FLAIR MR image.
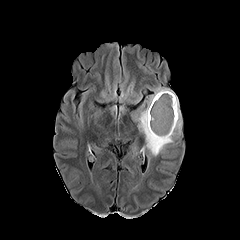
T1-weighted MR image.
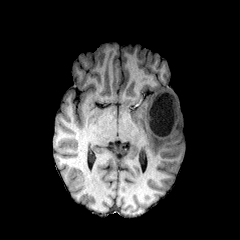
Post-contrast T1-weighted MRI.
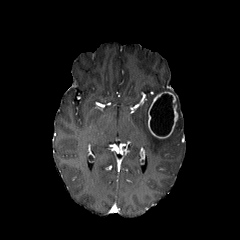
T2-weighted MR.
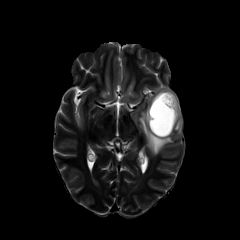
Head. Axial plane. Image size 240x240.
enhancing tumor = (x1=148, y1=91, x2=178, y2=138)
peritumoral edema = (x1=138, y1=87, x2=182, y2=155)
necrotic tumor core = (x1=150, y1=93, x2=175, y2=136)